Slice 112/155 | 240x240 px
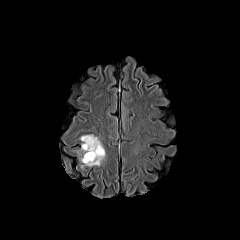
FLAIR magnetic resonance.
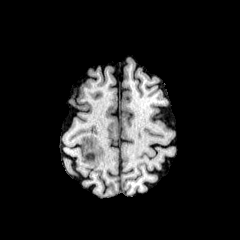
T1-weighted magnetic resonance of the same slice.
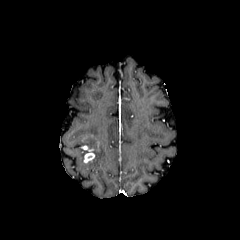
Post-contrast T1-weighted MR image.
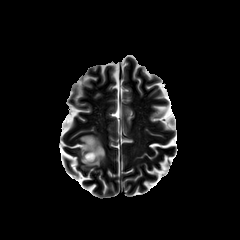
Same slice, T2-weighted MR image.
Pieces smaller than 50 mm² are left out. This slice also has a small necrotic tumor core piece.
The enhancing tumor lies within x1=81, y1=145, x2=96, y2=163. The largest peritumoral edema region is at x1=80, y1=134, x2=105, y2=168.